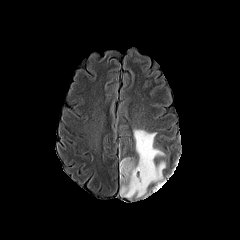
FLAIR MR.
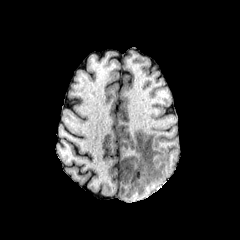
Same slice, T1-weighted MR.
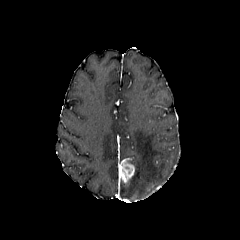
Same slice, post-contrast T1-weighted MR image.
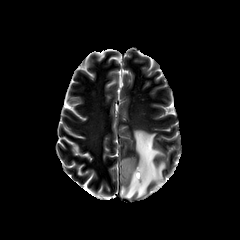
T2-weighted MR.
Axial slice
Annotated regions:
- enhancing tumor: 118 158 134 182
- peritumoral edema: 120 129 165 198